FLAIR MR.
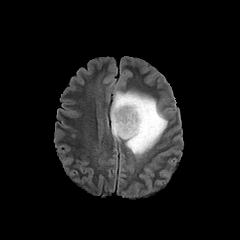
T1-weighted MR.
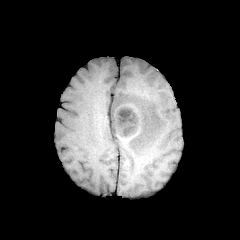
Post-contrast T1-weighted MR image.
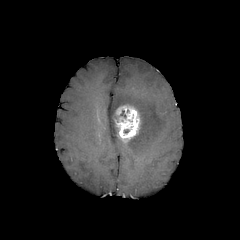
T2-weighted MRI.
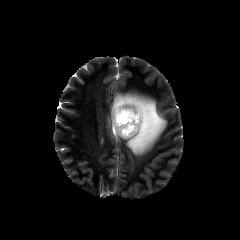
Brain | Axial view
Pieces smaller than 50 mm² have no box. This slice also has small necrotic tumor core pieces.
peritumoral_edema:
  - <bbox>110, 91, 167, 156</bbox>
enhancing_tumor:
  - <bbox>113, 105, 140, 140</bbox>